FLAIR MR image.
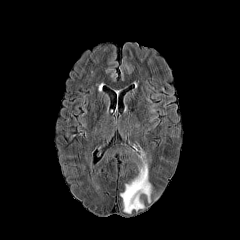
T1-weighted MR image.
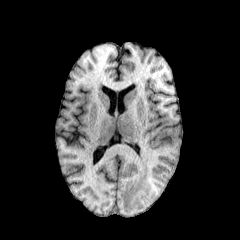
Post-contrast T1-weighted MR.
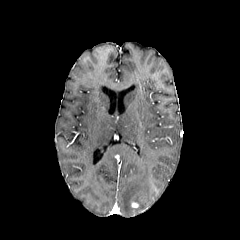
T2-weighted magnetic resonance.
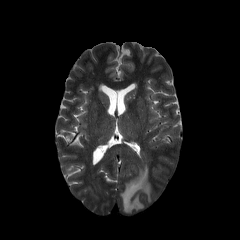
Axial slice; Head
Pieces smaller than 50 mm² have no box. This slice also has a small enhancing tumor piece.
peritumoral edema: x1=120 y1=152 x2=154 y2=213